FLAIR magnetic resonance.
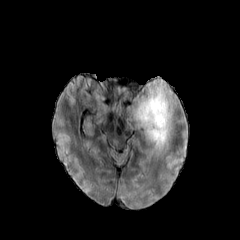
T1-weighted MRI.
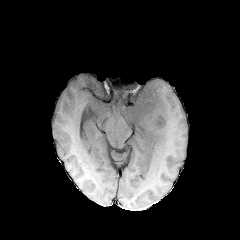
Post-contrast T1-weighted MR.
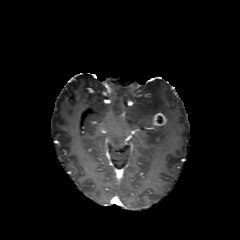
T2-weighted MRI.
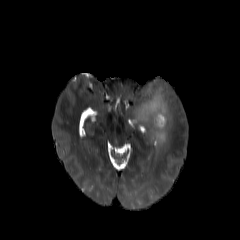
Head. Axial view.
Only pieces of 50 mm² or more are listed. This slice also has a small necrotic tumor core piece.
peritumoral edema — 132, 82, 171, 149
enhancing tumor — 149, 112, 166, 128